Brain | 240x240 px
FLAIR MR image.
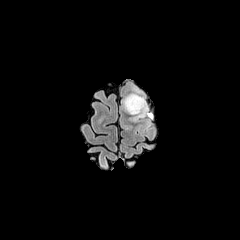
T1-weighted MR image.
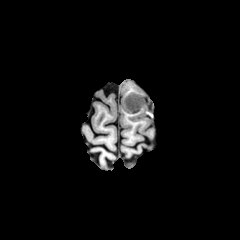
Post-contrast T1-weighted MRI.
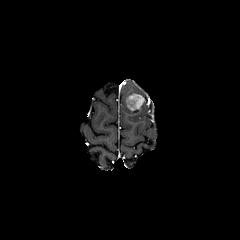
T2-weighted MR.
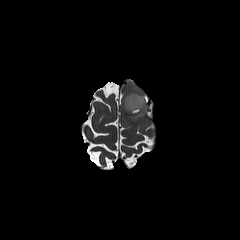
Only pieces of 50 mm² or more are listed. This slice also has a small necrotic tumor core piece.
peritumoral_edema:
  - rect(122, 84, 148, 121)
enhancing_tumor:
  - rect(125, 93, 144, 113)